Head, Slice index 47
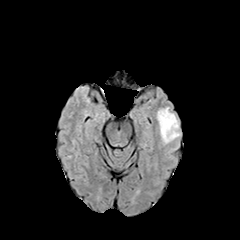
FLAIR MR image.
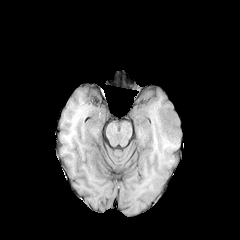
T1-weighted magnetic resonance of the same slice.
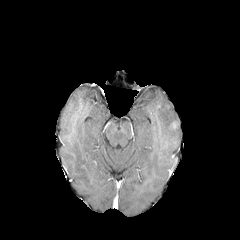
Post-contrast T1-weighted MR image.
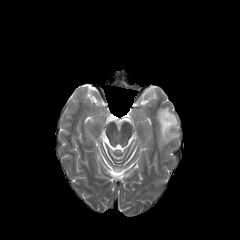
T2-weighted magnetic resonance of the same slice.
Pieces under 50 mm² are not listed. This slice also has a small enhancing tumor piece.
The peritumoral edema is at x1=156 y1=107 x2=180 y2=143.